Brain | 240x240
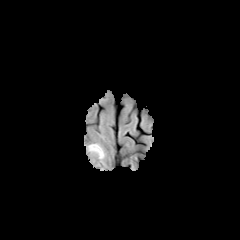
FLAIR MRI.
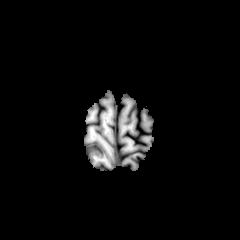
T1-weighted MR image.
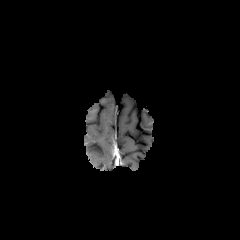
Same slice, post-contrast T1-weighted MR.
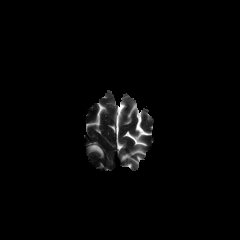
Same slice, T2-weighted magnetic resonance.
peritumoral edema: 88, 144, 104, 158